FLAIR MR.
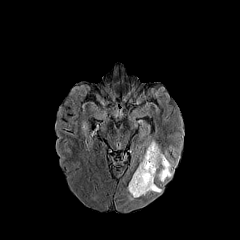
T1-weighted MR.
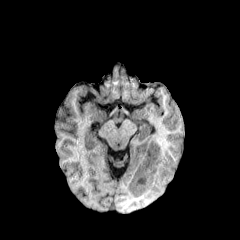
Post-contrast T1-weighted magnetic resonance.
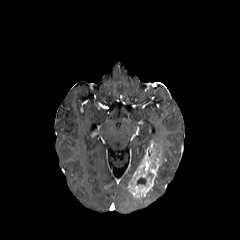
T2-weighted MRI.
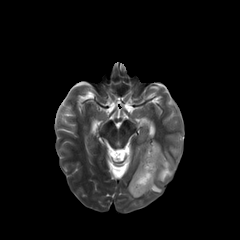
Axial view
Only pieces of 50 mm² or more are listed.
{
  "necrotic_tumor_core": [
    "l=137, t=178, r=146, b=184"
  ],
  "peritumoral_edema": [
    "l=157, t=154, r=173, b=182",
    "l=148, t=184, r=162, b=192"
  ],
  "enhancing_tumor": [
    "l=128, t=141, r=162, b=197"
  ]
}